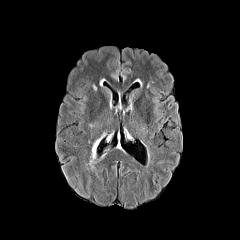
FLAIR magnetic resonance.
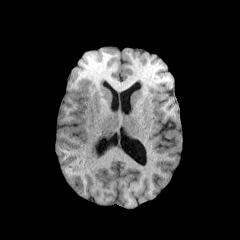
T1-weighted MRI of the same slice.
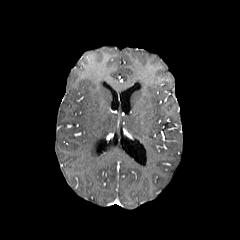
Same slice, post-contrast T1-weighted MRI.
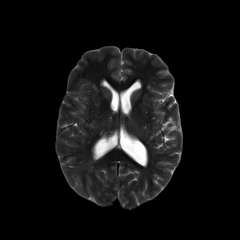
T2-weighted magnetic resonance.
Head, Axial slice
The peritumoral edema appears at 92,140,98,158.